Head. Axial view. Image width 240 mm.
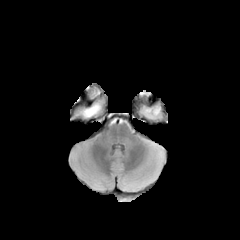
FLAIR MRI.
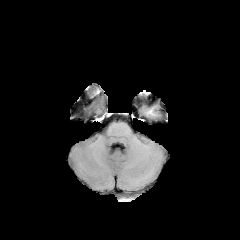
T1-weighted magnetic resonance of the same slice.
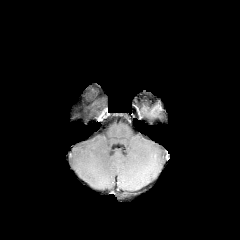
Same slice, post-contrast T1-weighted magnetic resonance.
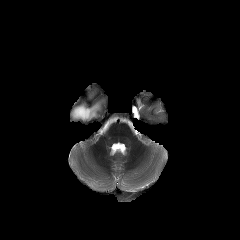
T2-weighted MR.
• peritumoral edema: x1=70, y1=83, x2=106, y2=121